Axial slice, Image width 240 mm, 1.00 mm slice spacing, Image size 240x240, Brain
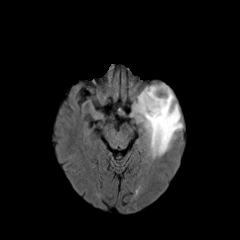
FLAIR magnetic resonance.
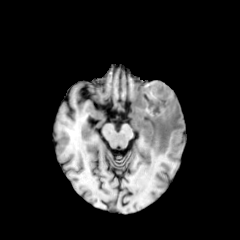
T1-weighted MR.
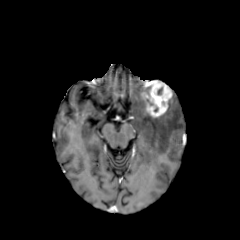
Post-contrast T1-weighted MR image of the same slice.
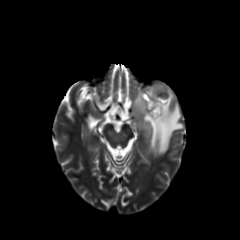
T2-weighted magnetic resonance.
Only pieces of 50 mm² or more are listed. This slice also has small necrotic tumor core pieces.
<segmentation>
  <enhancing_tumor>141, 81, 172, 118</enhancing_tumor>
  <peritumoral_edema>132, 92, 181, 156; 143, 81, 153, 94</peritumoral_edema>
</segmentation>